FLAIR MR image.
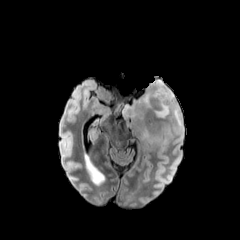
T1-weighted MR image.
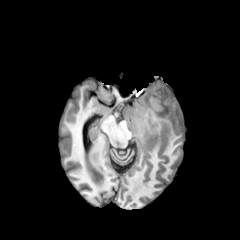
Post-contrast T1-weighted MR.
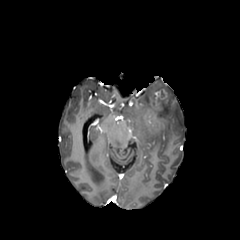
T2-weighted magnetic resonance.
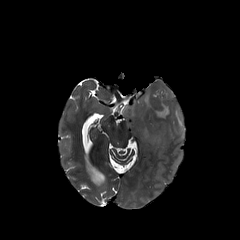
Brain | Axial view
enhancing_tumor:
  - l=154, t=90, r=166, b=100
peritumoral_edema:
  - l=122, t=80, r=183, b=148